Axial plane; Image width 240 mm, 1.00 mm slice spacing; Brain; 240x240
FLAIR magnetic resonance.
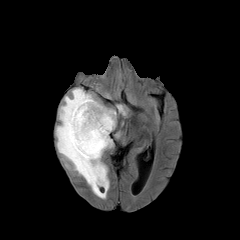
T1-weighted MRI.
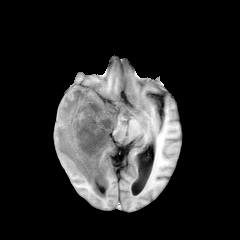
Post-contrast T1-weighted MRI.
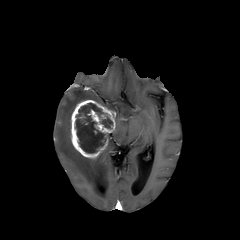
T2-weighted MRI.
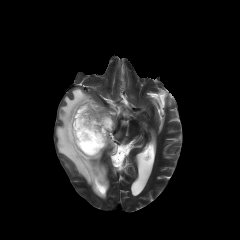
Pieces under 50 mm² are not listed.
2 necrotic tumor core regions are bounded by 101, 117, 112, 128; 76, 103, 105, 153. The largest enhancing tumor region is at 71, 100, 116, 159. The 2 largest peritumoral edema regions are bounded by 56, 88, 109, 198; 116, 105, 126, 115.